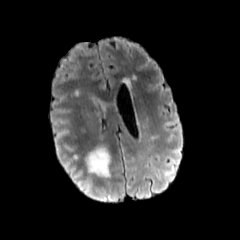
FLAIR MR.
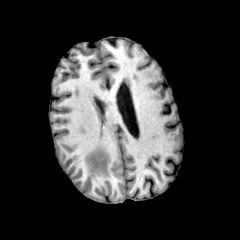
T1-weighted magnetic resonance.
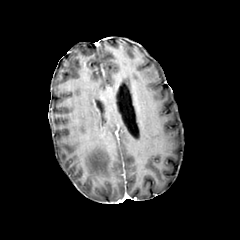
Same slice, post-contrast T1-weighted magnetic resonance.
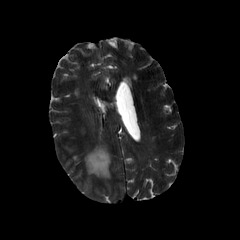
T2-weighted MR.
Head
peritumoral_edema:
  - [85, 146, 110, 177]